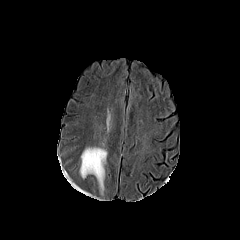
FLAIR MR image.
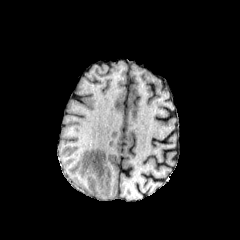
Same slice, T1-weighted magnetic resonance.
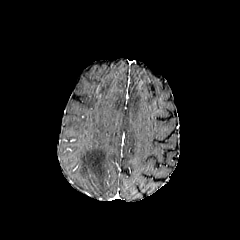
Post-contrast T1-weighted magnetic resonance.
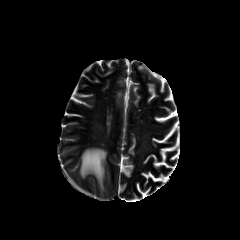
Same slice, T2-weighted magnetic resonance.
Axial plane; Head
The peritumoral edema lies within 79, 147, 107, 193.